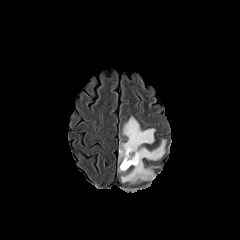
FLAIR MR.
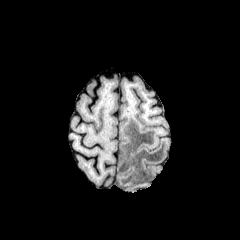
T1-weighted magnetic resonance.
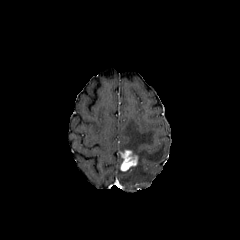
Post-contrast T1-weighted MR of the same slice.
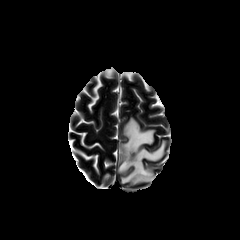
T2-weighted magnetic resonance.
peritumoral edema at [118,116,166,183]
enhancing tumor at [120,150,138,171]